Image size 240x240 | Image width 240 mm, 1.00 mm slice spacing | Brain | Slice index 71
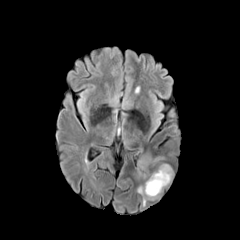
FLAIR magnetic resonance.
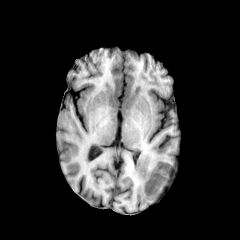
T1-weighted MR image.
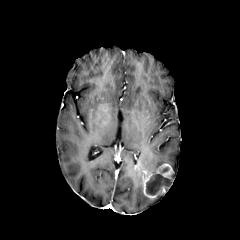
Same slice, post-contrast T1-weighted magnetic resonance.
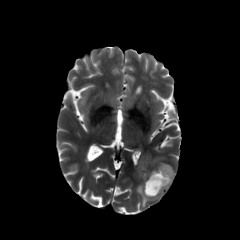
Same slice, T2-weighted MR.
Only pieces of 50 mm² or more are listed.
necrotic_tumor_core:
  - <box>146,174,171,194</box>
peritumoral_edema:
  - <box>137,154,164,177</box>
  - <box>137,185,150,206</box>
enhancing_tumor:
  - <box>142,163,173,199</box>